FLAIR magnetic resonance.
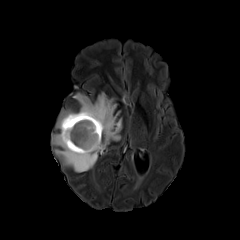
T1-weighted MR.
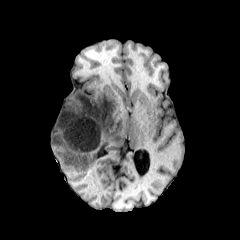
Post-contrast T1-weighted MR image.
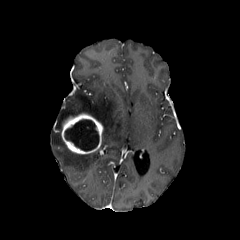
T2-weighted MRI.
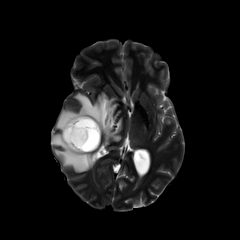
Brain | Axial plane
The peritumoral edema is located at x1=52, y1=92, x2=121, y2=172. The enhancing tumor is at x1=61, y1=113, x2=103, y2=154. The necrotic tumor core is located at x1=65, y1=119, x2=98, y2=151.